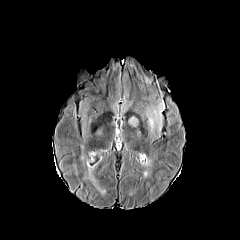
FLAIR MRI.
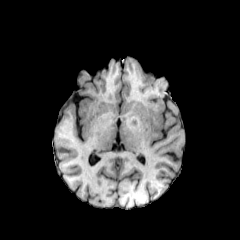
T1-weighted MRI.
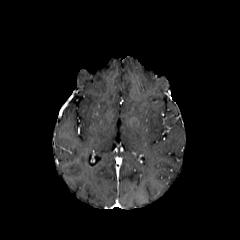
Same slice, post-contrast T1-weighted MR image.
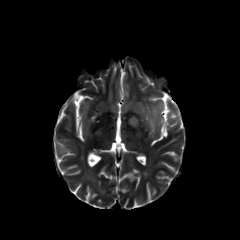
T2-weighted magnetic resonance of the same slice.
Axial view. Brain.
peritumoral edema at box(146, 104, 161, 131); box(129, 117, 137, 126)